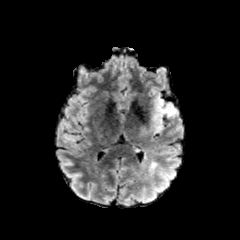
FLAIR MRI.
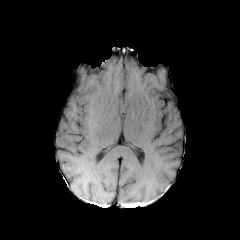
T1-weighted MR.
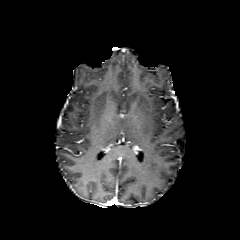
Post-contrast T1-weighted MR.
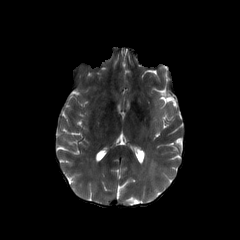
T2-weighted magnetic resonance.
Image size 240x240, Brain, Axial slice
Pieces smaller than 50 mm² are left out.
The largest peritumoral edema region is at x1=155 y1=94 x2=177 y2=131.